FLAIR MRI.
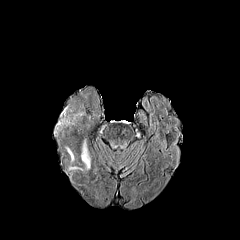
T1-weighted MR image.
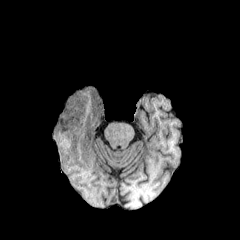
Post-contrast T1-weighted MR image.
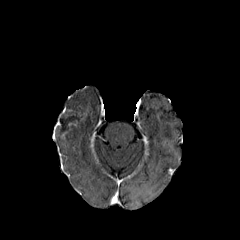
T2-weighted MRI.
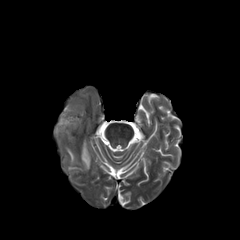
Axial view, Head
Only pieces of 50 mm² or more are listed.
The necrotic tumor core is located at box=[56, 107, 78, 134]. The largest peritumoral edema region is located at box=[81, 142, 90, 169]. The largest enhancing tumor region appears at box=[55, 107, 65, 128].